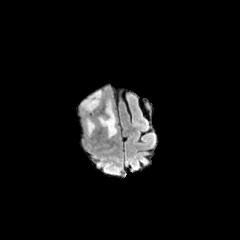
FLAIR MR.
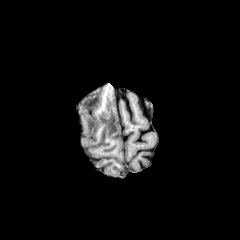
T1-weighted magnetic resonance.
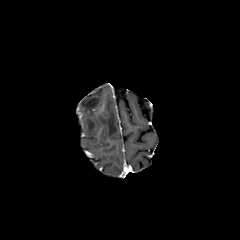
Post-contrast T1-weighted magnetic resonance.
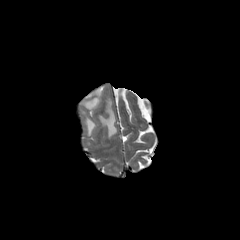
T2-weighted MR image.
Head
• peritumoral edema: [99,101,117,137], [85,119,94,135], [83,90,102,110]